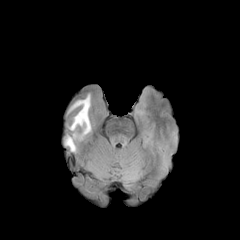
FLAIR MR image.
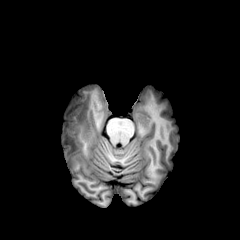
Same slice, T1-weighted MRI.
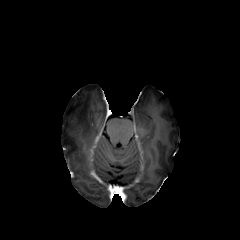
Post-contrast T1-weighted MR of the same slice.
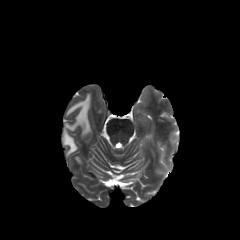
T2-weighted magnetic resonance of the same slice.
Brain
peritumoral_edema:
  - box=[69, 94, 90, 136]
  - box=[64, 134, 76, 151]